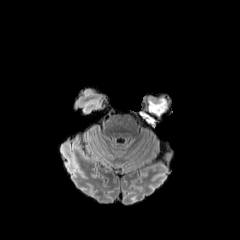
FLAIR magnetic resonance.
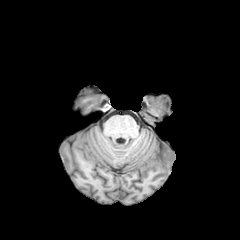
Same slice, T1-weighted magnetic resonance.
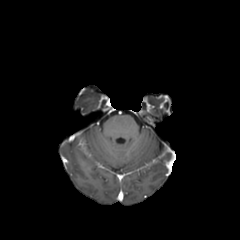
Post-contrast T1-weighted MR image.
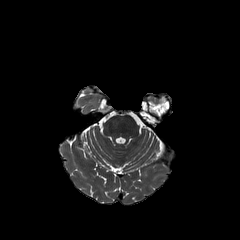
Same slice, T2-weighted MRI.
Axial slice; Head
Segmented structures:
• peritumoral edema: rect(148, 100, 166, 117)